FLAIR MR.
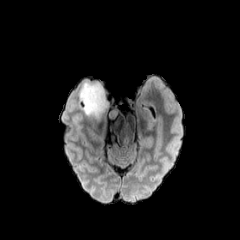
T1-weighted MR image.
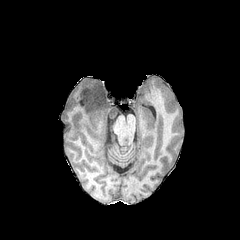
Post-contrast T1-weighted MR.
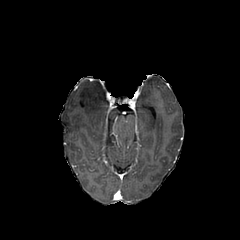
T2-weighted MRI.
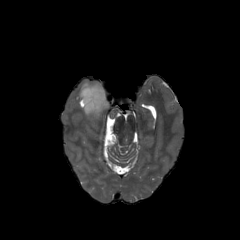
240x240, Axial view
Segmented structures:
• peritumoral edema: (78,78,118,129)